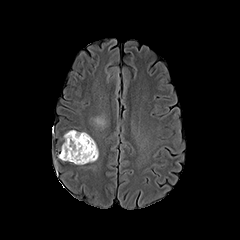
FLAIR magnetic resonance.
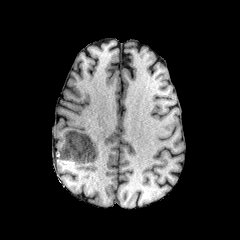
T1-weighted MRI.
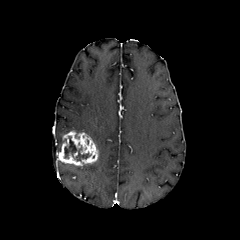
Post-contrast T1-weighted MR image of the same slice.
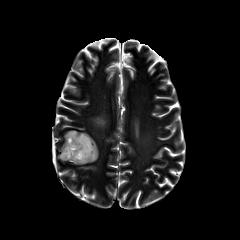
T2-weighted magnetic resonance.
Brain. Axial slice. Image size 240x240.
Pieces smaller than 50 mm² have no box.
Segmented structures:
• necrotic tumor core: (64,137,76,158), (75,147,90,160)
• peritumoral edema: (91,116,106,128)
• enhancing tumor: (58,130,98,165)